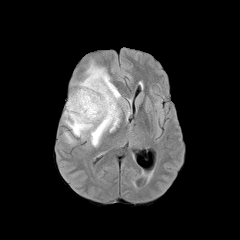
FLAIR MRI.
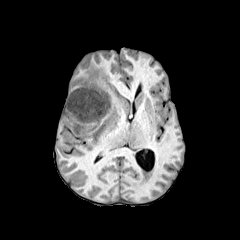
Same slice, T1-weighted MRI.
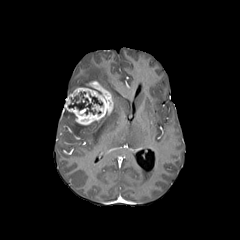
Same slice, post-contrast T1-weighted magnetic resonance.
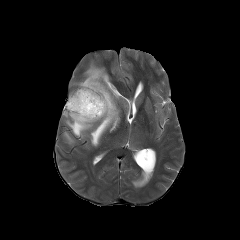
T2-weighted MR.
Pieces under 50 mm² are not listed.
necrotic tumor core: region(68, 92, 96, 114); region(89, 95, 102, 105) | peritumoral edema: region(64, 62, 120, 146); region(64, 133, 73, 142) | enhancing tumor: region(64, 81, 113, 125)